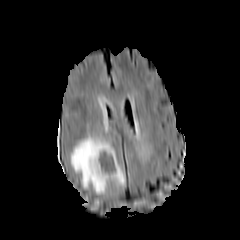
FLAIR MR image.
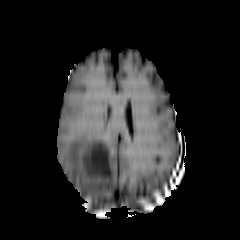
T1-weighted MR image of the same slice.
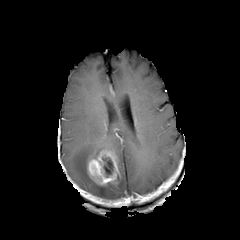
Post-contrast T1-weighted MR image of the same slice.
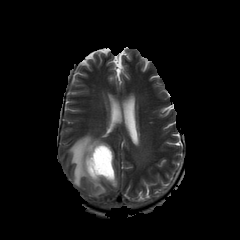
T2-weighted MRI of the same slice.
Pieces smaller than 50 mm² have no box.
Annotated regions:
- enhancing tumor: (87, 143, 119, 185)
- peritumoral edema: (70, 134, 125, 194)
- necrotic tumor core: (98, 157, 114, 176)